Slice 112 of 155. Head. 240x240. Axial view.
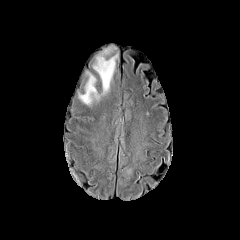
FLAIR MRI.
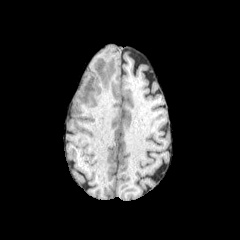
Same slice, T1-weighted MR image.
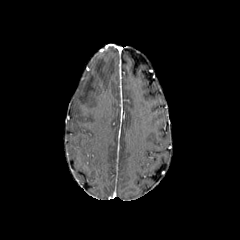
Post-contrast T1-weighted magnetic resonance of the same slice.
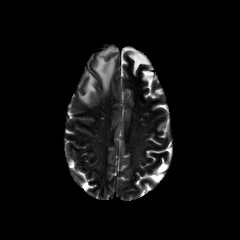
Same slice, T2-weighted MR.
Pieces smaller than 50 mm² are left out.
Findings:
- peritumoral edema: (92, 55, 117, 92), (79, 74, 97, 104)